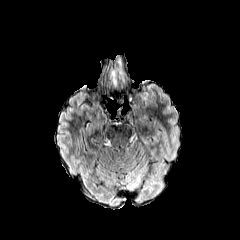
FLAIR MR.
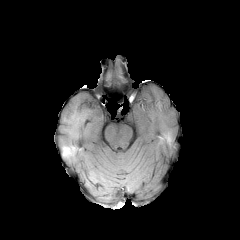
T1-weighted MR of the same slice.
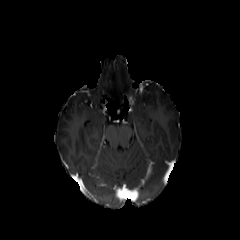
Post-contrast T1-weighted MR image of the same slice.
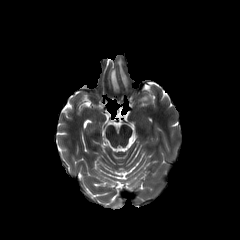
T2-weighted MR image.
Head | Axial plane
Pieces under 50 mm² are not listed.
<segmentation>
  <peritumoral_edema>[111,71,116,85]</peritumoral_edema>
</segmentation>